FLAIR MR image.
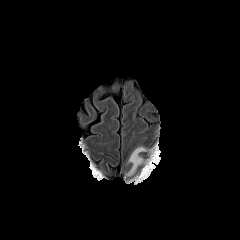
T1-weighted MR.
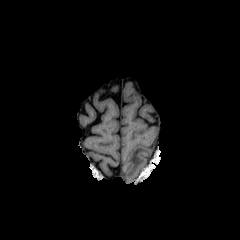
Post-contrast T1-weighted magnetic resonance.
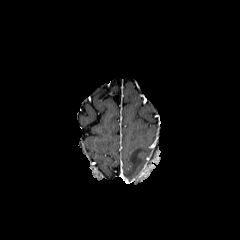
T2-weighted MR.
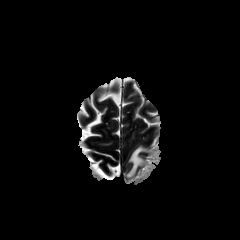
Axial plane, Brain
peritumoral edema: left=126, top=146, right=151, bottom=176